240x240; Image covers 240 mm x 240 mm; Slice 99 of 155
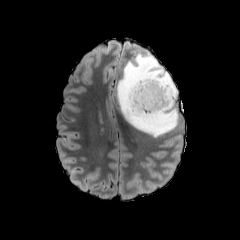
FLAIR MRI.
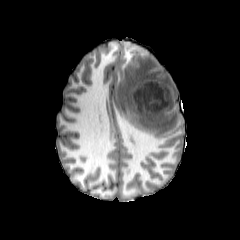
T1-weighted MR.
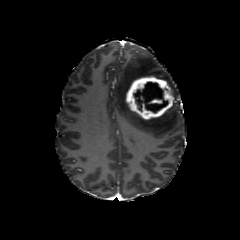
Post-contrast T1-weighted MRI of the same slice.
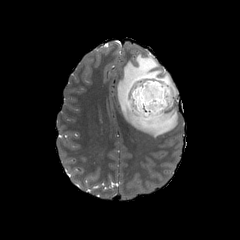
T2-weighted MRI.
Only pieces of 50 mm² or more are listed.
The peritumoral edema appears at (116,49,179,137). The largest enhancing tumor region is located at (124,75,173,120). The largest necrotic tumor core region is at (133,81,168,112).